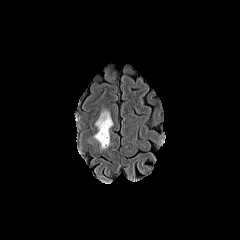
FLAIR magnetic resonance.
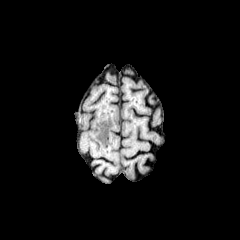
T1-weighted MR image of the same slice.
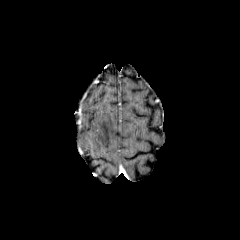
Same slice, post-contrast T1-weighted MRI.
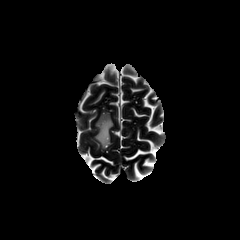
T2-weighted magnetic resonance.
Axial slice | Head
The peritumoral edema is located at 94:111:113:148.